FLAIR MRI.
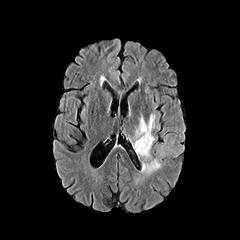
T1-weighted MR image.
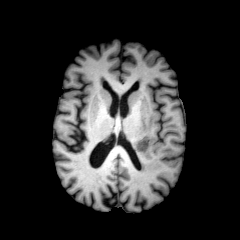
Post-contrast T1-weighted magnetic resonance.
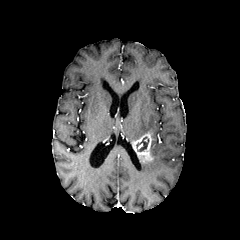
T2-weighted MR image.
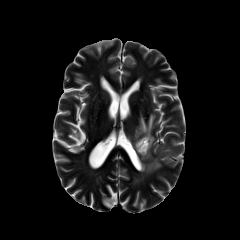
Axial view. 240x240.
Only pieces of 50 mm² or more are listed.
- peritumoral edema: left=141, top=158, right=161, bottom=173; left=133, top=112, right=155, bottom=140
- necrotic tumor core: left=136, top=137, right=148, bottom=151
- enhancing tumor: left=132, top=132, right=153, bottom=161